Slice 91 of 155, Head, Axial slice
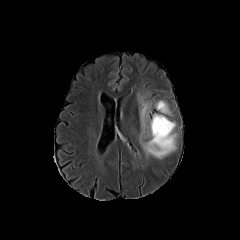
FLAIR magnetic resonance.
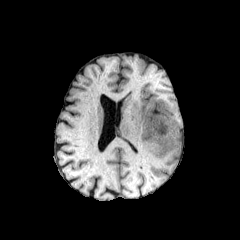
T1-weighted MR of the same slice.
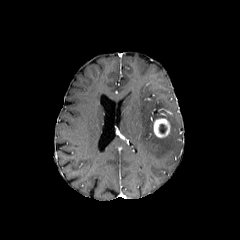
Post-contrast T1-weighted magnetic resonance.
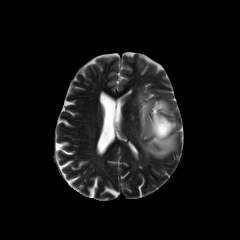
T2-weighted MRI.
- peritumoral edema: (138, 94, 177, 158)
- necrotic tumor core: (159, 124, 166, 133)
- enhancing tumor: (153, 118, 170, 138)